Axial plane; Slice index 91; Image size 240x240
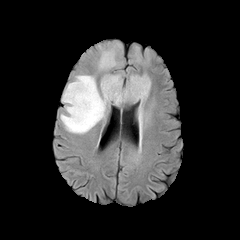
FLAIR MR.
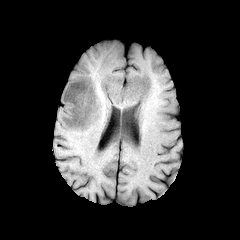
T1-weighted MR image.
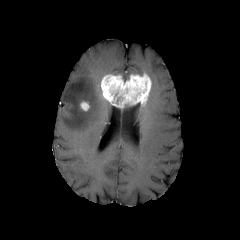
Post-contrast T1-weighted MR image.
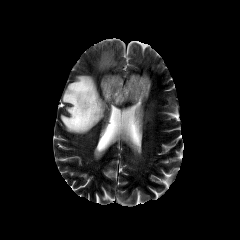
T2-weighted magnetic resonance of the same slice.
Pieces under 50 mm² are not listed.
enhancing tumor: l=79, t=100, r=90, b=111; l=100, t=73, r=151, b=107 | peritumoral edema: l=60, t=74, r=109, b=134; l=97, t=47, r=117, b=70; l=138, t=103, r=145, b=127